Image width 240 mm. Axial plane.
FLAIR magnetic resonance.
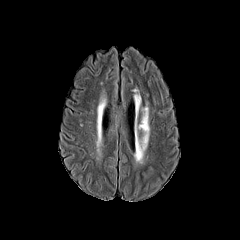
T1-weighted MRI.
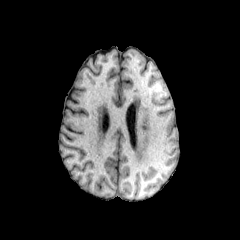
Post-contrast T1-weighted MR image.
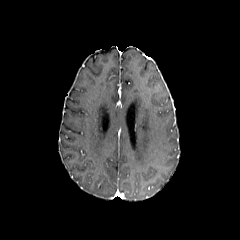
T2-weighted MR image.
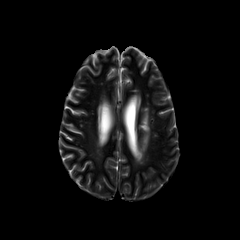
peritumoral edema at <box>138,107,149,155</box>